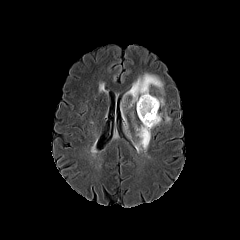
FLAIR magnetic resonance.
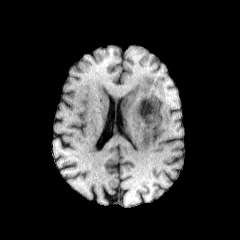
Same slice, T1-weighted magnetic resonance.
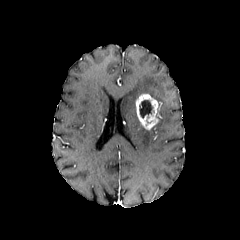
Post-contrast T1-weighted MR image.
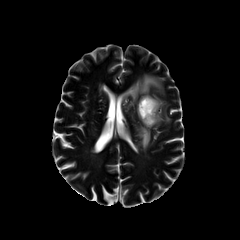
T2-weighted magnetic resonance.
Brain; Axial plane
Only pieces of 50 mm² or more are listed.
Segmented structures:
* enhancing tumor: x1=135 y1=93 x2=162 y2=130
* peritumoral edema: x1=135 y1=125 x2=150 y2=152, x1=124 y1=73 x2=163 y2=107
* necrotic tumor core: x1=139 y1=100 x2=152 y2=118